Image width 240 mm, 1.00 mm slice spacing, Slice 81/155
FLAIR MR image.
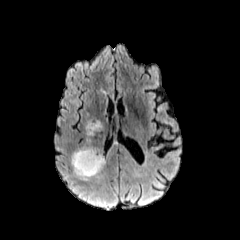
T1-weighted magnetic resonance.
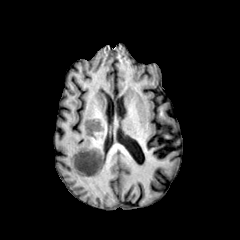
Post-contrast T1-weighted MRI.
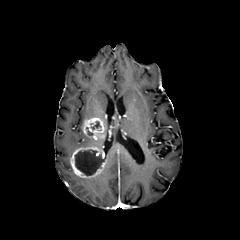
T2-weighted MR image.
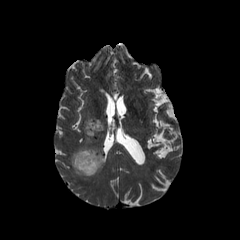
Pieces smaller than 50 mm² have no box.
Findings:
- peritumoral edema: x1=72, y1=169, x2=91, y2=180
- enhancing tumor: x1=70, y1=144, x2=106, y2=177; x1=83, y1=117, x2=104, y2=138
- necrotic tumor core: x1=75, y1=149, x2=104, y2=175